FLAIR MR image.
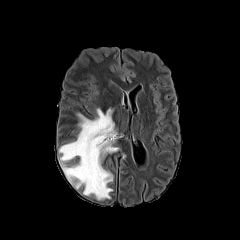
T1-weighted MR.
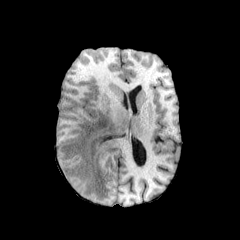
Post-contrast T1-weighted MR.
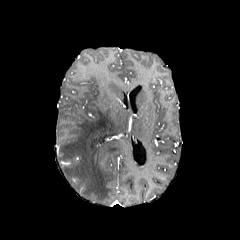
T2-weighted MR.
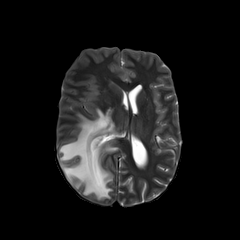
Head; Axial slice
peritumoral edema = l=59, t=108, r=118, b=199